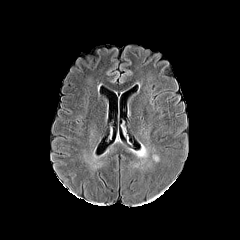
FLAIR MRI.
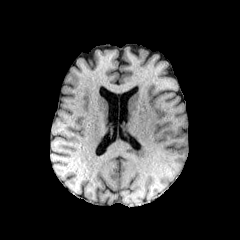
T1-weighted MR image.
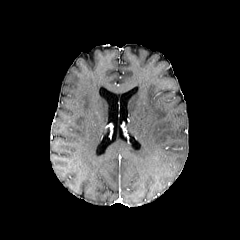
Post-contrast T1-weighted MR image.
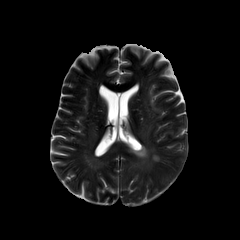
T2-weighted MR of the same slice.
Brain; Image size 240x240
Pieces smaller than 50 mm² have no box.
peritumoral edema: bounding box rect(133, 145, 148, 163)